Image width 240 mm; Slice index 97; Head; Image size 240x240
FLAIR magnetic resonance.
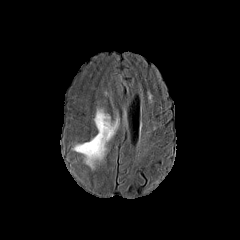
T1-weighted MRI.
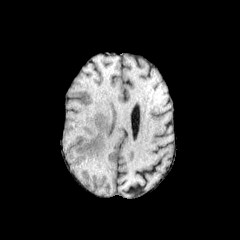
Post-contrast T1-weighted MR image.
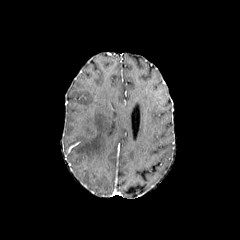
T2-weighted MR image.
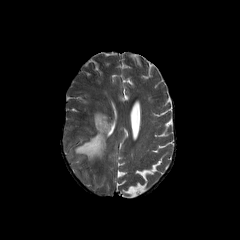
peritumoral edema: bounding box [x1=74, y1=109, x2=113, y2=166]